Slice index 103, Axial view, Image size 240x240
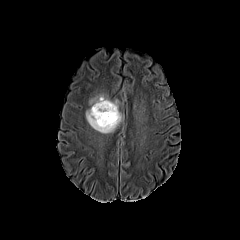
FLAIR MR.
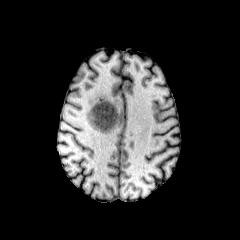
T1-weighted magnetic resonance of the same slice.
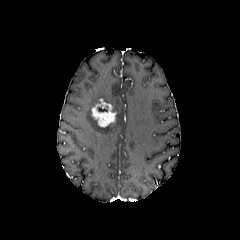
Post-contrast T1-weighted MR image of the same slice.
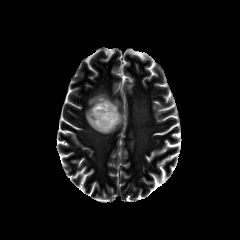
T2-weighted MR image of the same slice.
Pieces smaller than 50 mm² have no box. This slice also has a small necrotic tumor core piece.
peritumoral_edema:
  - left=85, top=94, right=122, bottom=133
enhancing_tumor:
  - left=91, top=99, right=116, bottom=127